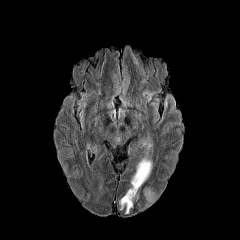
FLAIR MR.
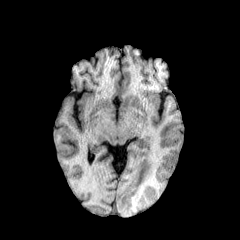
T1-weighted magnetic resonance of the same slice.
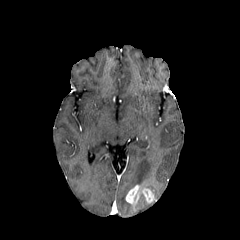
Same slice, post-contrast T1-weighted magnetic resonance.
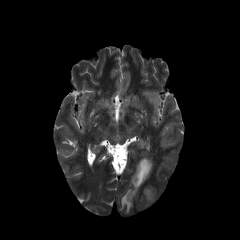
T2-weighted MR.
Head.
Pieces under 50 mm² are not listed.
peritumoral edema: bbox(119, 156, 152, 213) | enhancing tumor: bbox(142, 188, 154, 202); bbox(125, 185, 139, 203)